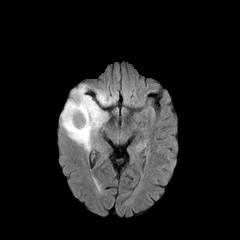
FLAIR MR image.
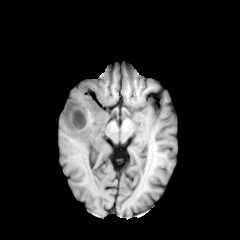
T1-weighted magnetic resonance.
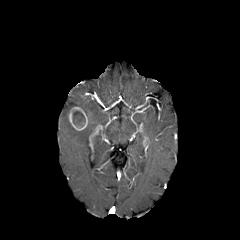
Same slice, post-contrast T1-weighted MR image.
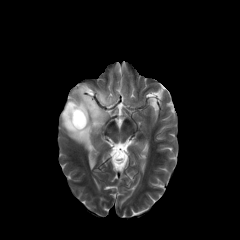
Same slice, T2-weighted MR.
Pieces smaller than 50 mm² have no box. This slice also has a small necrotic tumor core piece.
The enhancing tumor appears at [x1=68, y1=106, x2=87, y2=130]. The 2 largest peritumoral edema regions are bounded by [x1=61, y1=84, x2=108, y2=152], [x1=95, y1=89, x2=117, y2=105].